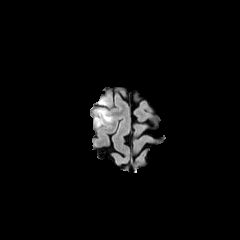
FLAIR MR image.
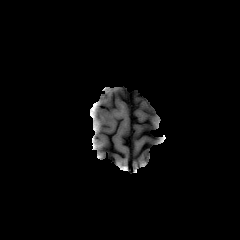
Same slice, T1-weighted magnetic resonance.
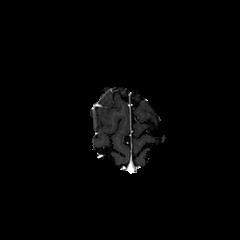
Post-contrast T1-weighted MRI of the same slice.
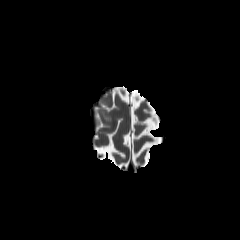
T2-weighted magnetic resonance.
Axial slice; Image size 240x240
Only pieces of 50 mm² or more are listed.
The 2 largest peritumoral edema regions are bounded by box=[97, 109, 112, 121]; box=[95, 118, 102, 126].